Slice 105/155; Head; Axial view
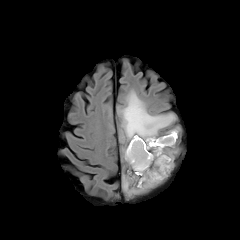
FLAIR magnetic resonance.
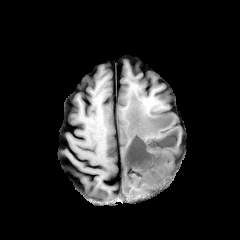
T1-weighted MRI.
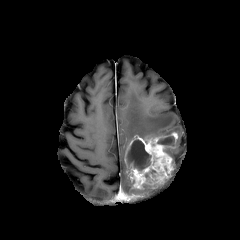
Post-contrast T1-weighted MRI.
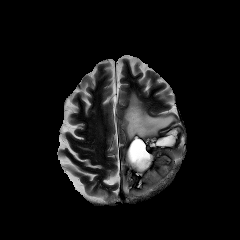
T2-weighted MRI of the same slice.
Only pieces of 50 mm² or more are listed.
The 2 largest peritumoral edema regions are bounded by box=[123, 175, 152, 195]; box=[121, 92, 175, 140]. The enhancing tumor is bounded by box=[124, 132, 177, 188]. The 2 largest necrotic tumor core regions are bounded by box=[127, 140, 150, 170]; box=[157, 136, 174, 145].